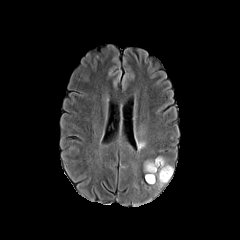
FLAIR MRI.
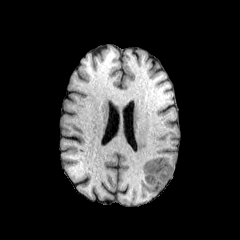
Same slice, T1-weighted MR image.
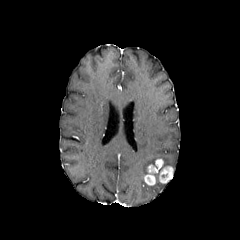
Post-contrast T1-weighted MR image.
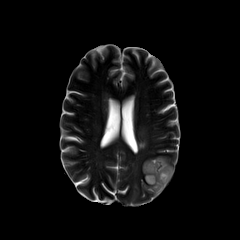
T2-weighted MRI of the same slice.
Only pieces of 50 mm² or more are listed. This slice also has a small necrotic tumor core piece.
peritumoral edema = (left=153, top=156, right=170, bottom=189), (left=138, top=142, right=145, bottom=150), (left=144, top=160, right=154, bottom=174)
enhancing tumor = (left=159, top=166, right=173, bottom=183), (left=144, top=159, right=163, bottom=185)